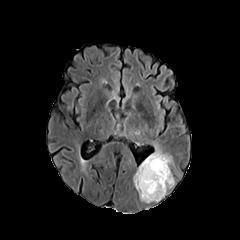
FLAIR MR image.
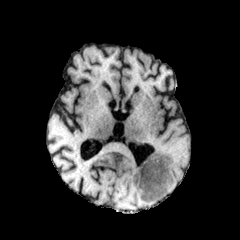
T1-weighted MR.
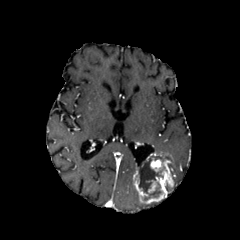
Same slice, post-contrast T1-weighted magnetic resonance.
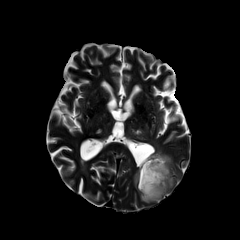
T2-weighted MR.
Head; Axial view; Image size 240x240
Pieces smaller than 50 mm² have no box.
peritumoral edema = l=153, t=141, r=162, b=153
necrotic tumor core = l=149, t=182, r=161, b=197; l=139, t=159, r=163, b=193
enhancing tumor = l=133, t=153, r=173, b=203